240x240, Axial plane, Slice 34 of 155
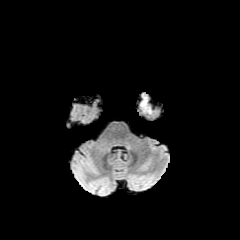
FLAIR MR image.
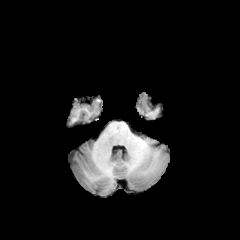
T1-weighted MR.
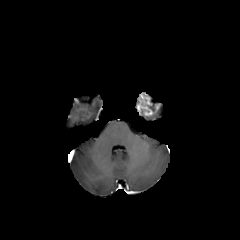
Post-contrast T1-weighted MR.
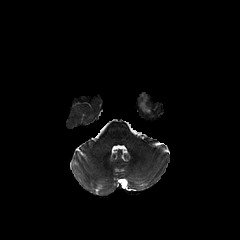
T2-weighted MR image of the same slice.
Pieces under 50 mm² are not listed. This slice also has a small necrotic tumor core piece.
The enhancing tumor is bounded by x1=138, y1=93, x2=158, y2=115.